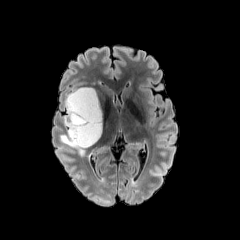
FLAIR magnetic resonance.
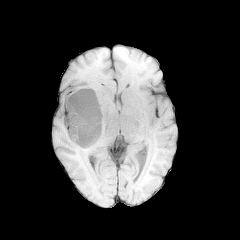
T1-weighted MRI.
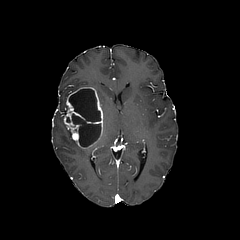
Post-contrast T1-weighted MRI.
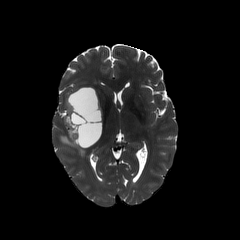
Same slice, T2-weighted MRI.
Brain
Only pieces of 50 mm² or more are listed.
The largest peritumoral edema region appears at (61,130,85,155). The largest necrotic tumor core region is bounded by (69,89,101,147). The largest enhancing tumor region appears at (64,87,102,148).